Slice 101/155. Image covers 240 mm x 240 mm. Axial slice. Brain. 240x240.
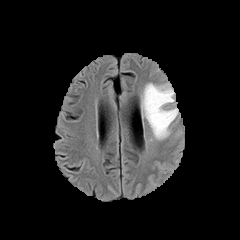
FLAIR MR.
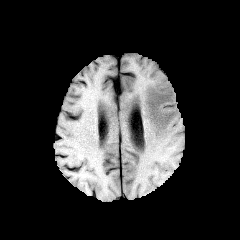
T1-weighted MR image of the same slice.
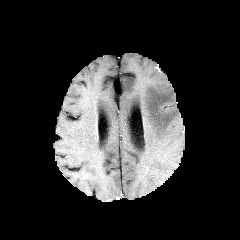
Post-contrast T1-weighted MR.
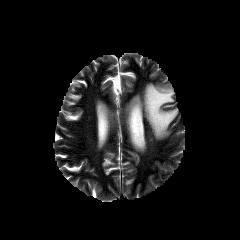
T2-weighted MRI of the same slice.
peritumoral edema: <bbox>141, 83, 178, 139</bbox>